Image covers 240 mm x 240 mm
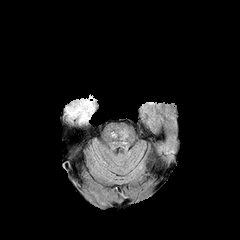
FLAIR MR.
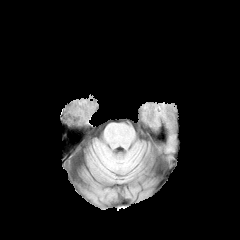
Same slice, T1-weighted magnetic resonance.
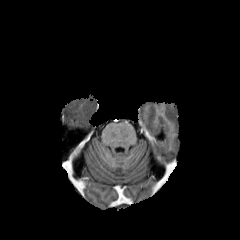
Post-contrast T1-weighted MR image.
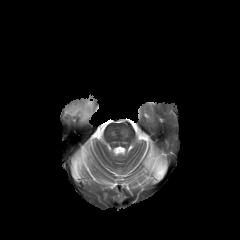
T2-weighted MRI.
The peritumoral edema lies within [x1=61, y1=98, x2=97, y2=126].